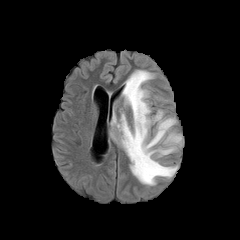
FLAIR MRI.
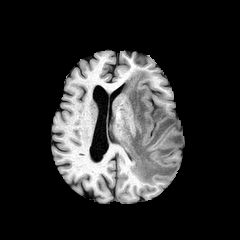
T1-weighted magnetic resonance of the same slice.
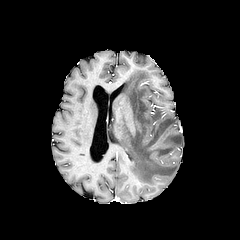
Post-contrast T1-weighted MR.
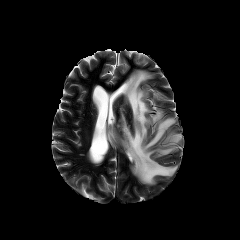
T2-weighted MR.
240x240; Axial slice
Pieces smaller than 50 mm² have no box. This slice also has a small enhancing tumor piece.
peritumoral edema: bounding box <box>110,70,181,185</box>